Image covers 240 mm x 240 mm, Axial plane
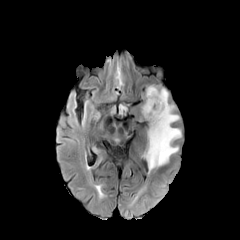
FLAIR MRI.
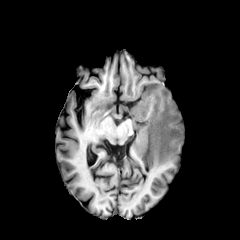
T1-weighted magnetic resonance of the same slice.
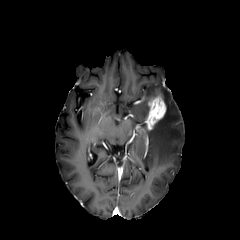
Same slice, post-contrast T1-weighted magnetic resonance.
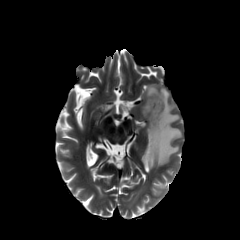
T2-weighted MR image.
<segmentation>
  <peritumoral_edema>(left=142, top=85, right=180, bottom=170)</peritumoral_edema>
  <enhancing_tumor>(left=145, top=95, right=166, bottom=129)</enhancing_tumor>
</segmentation>